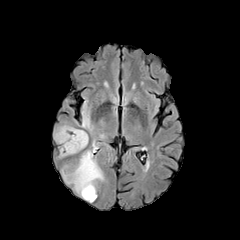
FLAIR magnetic resonance.
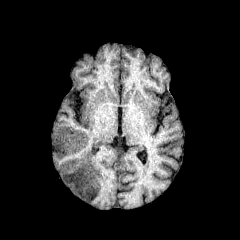
T1-weighted MRI.
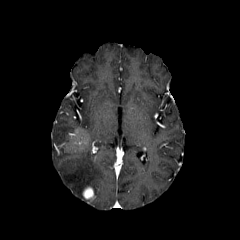
Post-contrast T1-weighted MR of the same slice.
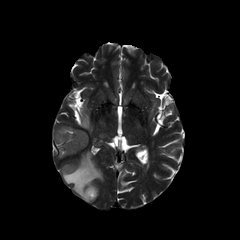
T2-weighted MRI of the same slice.
Head | Image size 240x240
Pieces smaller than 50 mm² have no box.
enhancing_tumor:
  - [64, 129, 88, 152]
  - [82, 186, 95, 200]
peritumoral_edema:
  - [59, 145, 75, 157]
  - [62, 150, 103, 197]
  - [54, 124, 75, 143]
  - [81, 110, 91, 130]